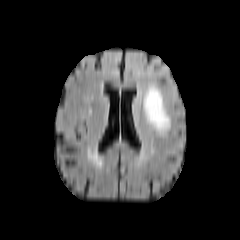
FLAIR magnetic resonance.
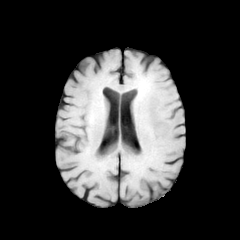
Same slice, T1-weighted MRI.
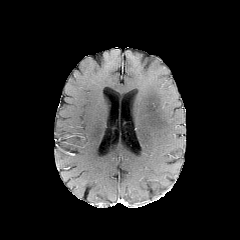
Post-contrast T1-weighted MR.
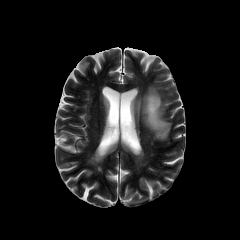
Same slice, T2-weighted MR.
240x240, Brain
• peritumoral edema: left=141, top=85, right=170, bottom=136